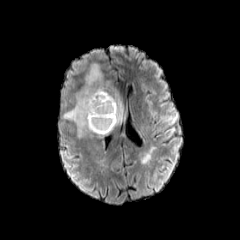
FLAIR MRI.
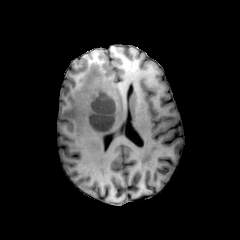
T1-weighted MR of the same slice.
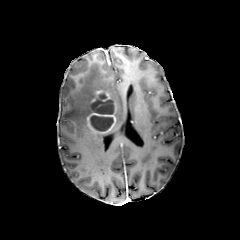
Post-contrast T1-weighted magnetic resonance of the same slice.
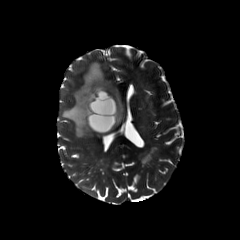
Same slice, T2-weighted MR.
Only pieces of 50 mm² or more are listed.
The largest peritumoral edema region appears at [x1=63, y1=62, x2=123, y2=135]. 2 necrotic tumor core regions appear at [x1=90, y1=115, x2=113, y2=131], [x1=91, y1=94, x2=114, y2=114]. The enhancing tumor is at [x1=87, y1=87, x2=116, y2=134].